Image size 240x240 | Axial slice | Brain | Slice 59 of 155 | Image width 240 mm
FLAIR MR.
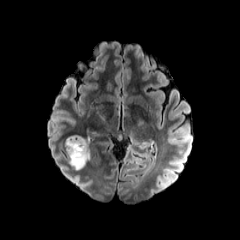
T1-weighted magnetic resonance.
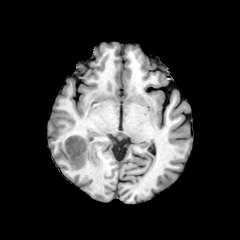
Post-contrast T1-weighted magnetic resonance.
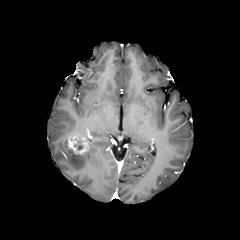
T2-weighted magnetic resonance.
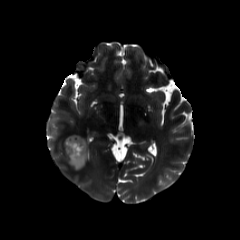
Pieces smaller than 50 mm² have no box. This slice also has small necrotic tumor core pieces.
enhancing_tumor:
  - box(67, 134, 89, 154)
peritumoral_edema:
  - box(65, 139, 89, 169)